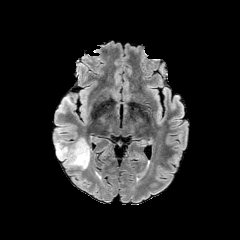
FLAIR MR.
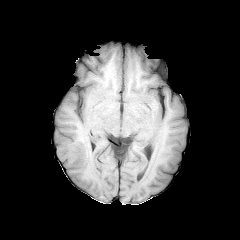
T1-weighted MR.
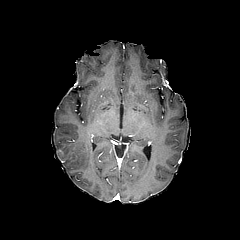
Post-contrast T1-weighted magnetic resonance.
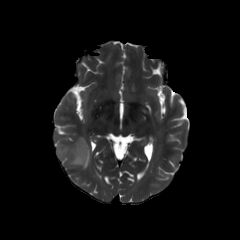
Same slice, T2-weighted MR.
Brain. 240x240 px.
Findings:
* peritumoral edema: rect(56, 138, 91, 169)